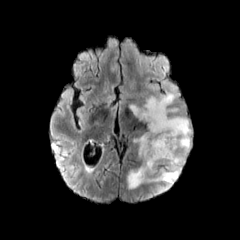
FLAIR MRI.
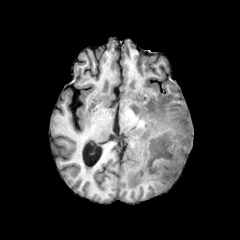
T1-weighted MR of the same slice.
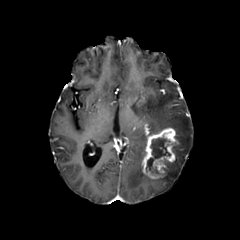
Post-contrast T1-weighted MR image of the same slice.
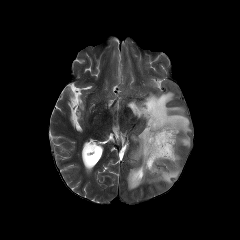
Same slice, T2-weighted magnetic resonance.
Brain, Axial slice, Image size 240x240
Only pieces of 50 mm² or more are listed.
<segmentation>
  <peritumoral_edema>126:93:192:193</peritumoral_edema>
  <enhancing_tumor>140:127:178:179</enhancing_tumor>
  <necrotic_tumor_core>146:138:170:174</necrotic_tumor_core>
</segmentation>